Image covers 240 mm x 240 mm | Slice 110 of 155
FLAIR MRI.
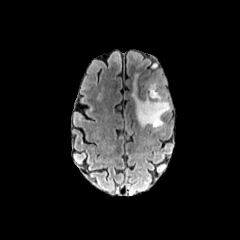
T1-weighted MR image.
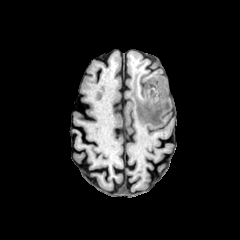
Post-contrast T1-weighted MR.
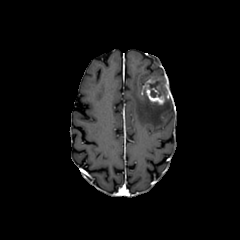
T2-weighted MR.
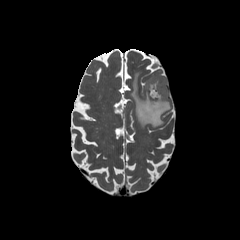
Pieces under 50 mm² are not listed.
The largest enhancing tumor region lies within 142,77,170,105. The necrotic tumor core is located at 149,81,166,97. The largest peritumoral edema region is located at 131,73,171,127.